Slice 51/155, 240x240 px
FLAIR MRI.
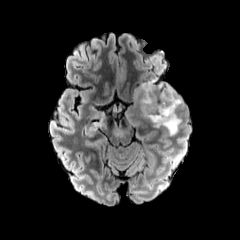
T1-weighted MR image.
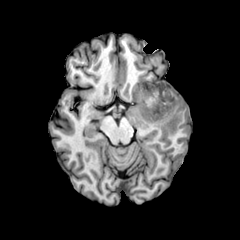
Post-contrast T1-weighted MR.
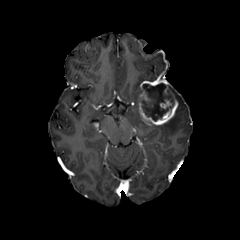
T2-weighted MRI.
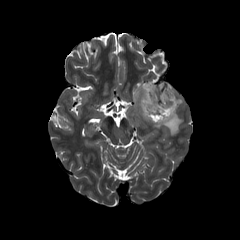
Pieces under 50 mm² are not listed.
{
  "necrotic_tumor_core": [
    "<box>141,83,174,121</box>"
  ],
  "peritumoral_edema": [
    "<box>133,87,139,106</box>",
    "<box>153,87,184,135</box>"
  ],
  "enhancing_tumor": [
    "<box>137,77,178,125</box>",
    "<box>160,99,171,108</box>"
  ]
}